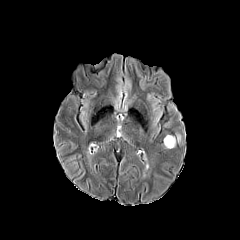
FLAIR MR image.
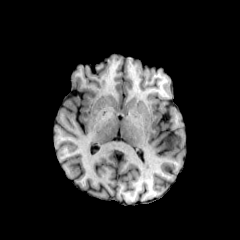
T1-weighted MR image.
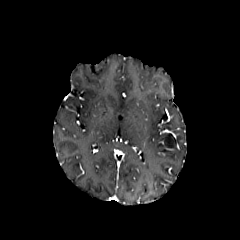
Post-contrast T1-weighted magnetic resonance of the same slice.
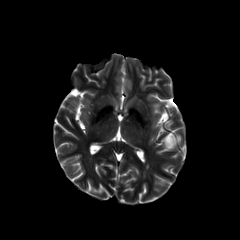
T2-weighted MRI.
240x240 px | Axial slice
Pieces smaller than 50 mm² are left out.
<segmentation>
  <peritumoral_edema>x1=164 y1=135 x2=175 y2=148</peritumoral_edema>
</segmentation>